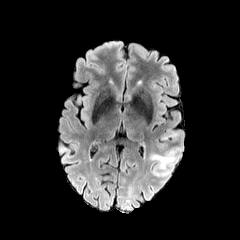
FLAIR MR.
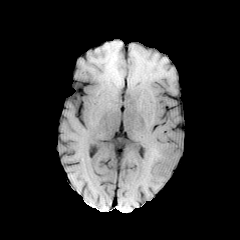
Same slice, T1-weighted MR image.
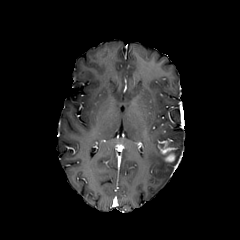
Post-contrast T1-weighted MR image of the same slice.
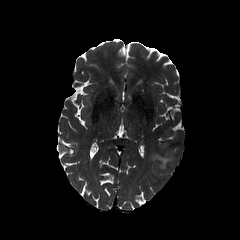
T2-weighted MR image of the same slice.
Head; 240x240 px
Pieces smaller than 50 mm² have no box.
The enhancing tumor is located at (161, 147, 175, 161). The largest peritumoral edema region is bounded by (149, 147, 179, 176).